FLAIR MRI.
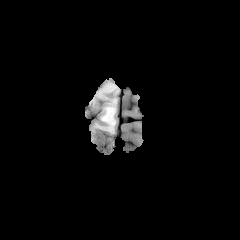
T1-weighted MR image.
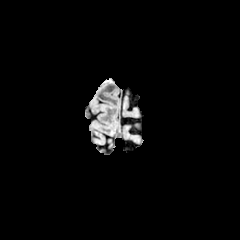
Post-contrast T1-weighted MRI.
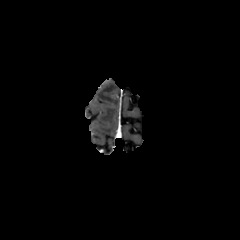
T2-weighted magnetic resonance.
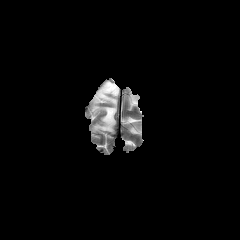
Axial view; Head; 240x240
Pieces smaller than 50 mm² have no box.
peritumoral edema: bounding box (x1=95, y1=82, x2=118, y2=132)